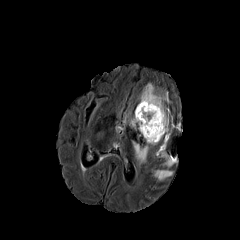
FLAIR MR image.
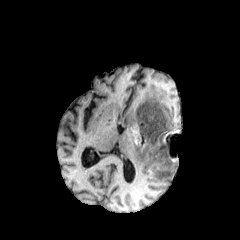
T1-weighted magnetic resonance.
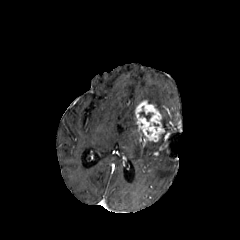
Post-contrast T1-weighted MRI.
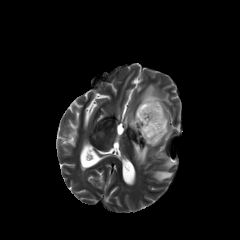
Same slice, T2-weighted MRI.
Axial slice | 240x240 px
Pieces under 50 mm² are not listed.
The largest necrotic tumor core region appears at bbox=[140, 111, 151, 121]. The largest enhancing tumor region appears at bbox=[135, 100, 164, 142]. The 5 largest peritumoral edema regions appear at bbox=[130, 116, 136, 128]; bbox=[154, 170, 172, 180]; bbox=[133, 141, 158, 163]; bbox=[157, 149, 176, 167]; bbox=[140, 84, 174, 138].